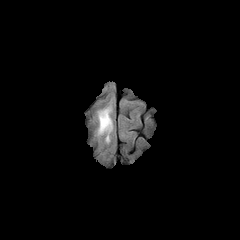
FLAIR MR image.
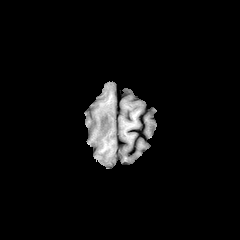
T1-weighted MR of the same slice.
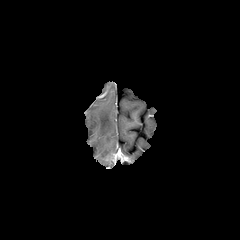
Post-contrast T1-weighted MR.
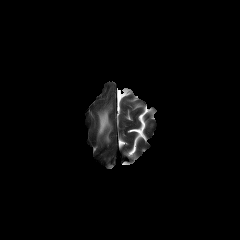
T2-weighted MR image.
Head, Image size 240x240, Axial slice
peritumoral edema: x1=98, y1=107, x2=112, y2=142